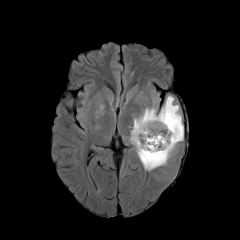
FLAIR magnetic resonance.
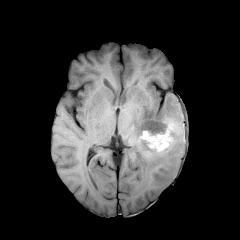
Same slice, T1-weighted MR.
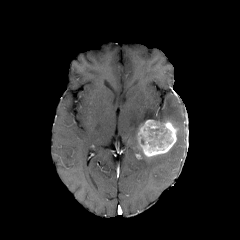
Post-contrast T1-weighted magnetic resonance.
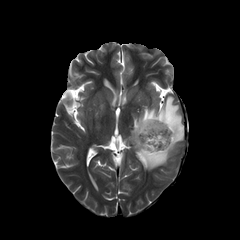
T2-weighted MRI.
240x240 px; Brain
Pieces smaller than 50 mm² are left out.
enhancing tumor: bbox=[138, 119, 176, 156] | peritumoral edema: bbox=[94, 103, 104, 119]; bbox=[129, 95, 183, 171] | necrotic tumor core: bbox=[147, 129, 170, 148]